Axial plane; Slice 59/155
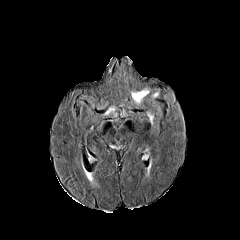
FLAIR MR image.
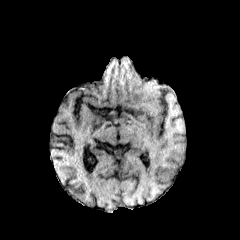
Same slice, T1-weighted magnetic resonance.
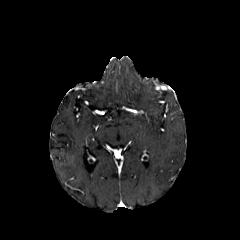
Post-contrast T1-weighted MR image.
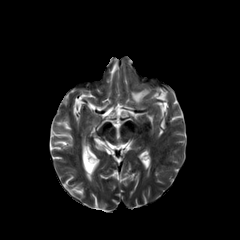
T2-weighted MRI of the same slice.
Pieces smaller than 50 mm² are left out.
- peritumoral edema: box(131, 89, 149, 104)